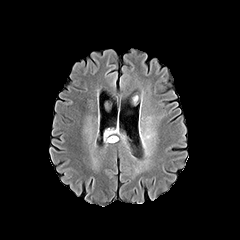
FLAIR magnetic resonance.
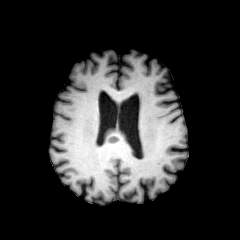
Same slice, T1-weighted MRI.
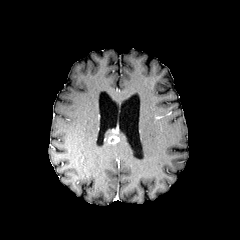
Same slice, post-contrast T1-weighted magnetic resonance.
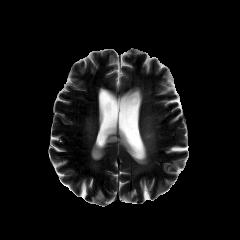
Same slice, T2-weighted MR image.
Axial view
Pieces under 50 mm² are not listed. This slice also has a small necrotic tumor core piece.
enhancing tumor = x1=108, y1=136, x2=119, y2=143